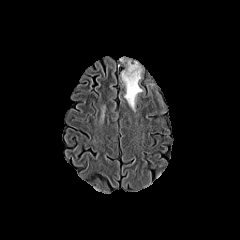
FLAIR MR.
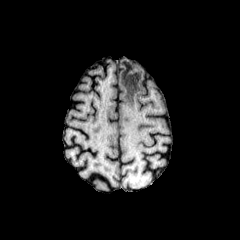
T1-weighted MRI.
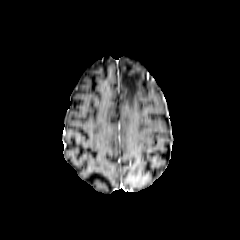
Post-contrast T1-weighted magnetic resonance.
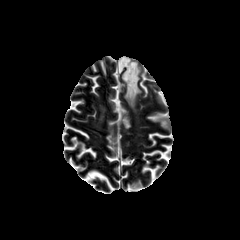
T2-weighted MR.
Axial slice
peritumoral edema: bounding box 120,57,142,110